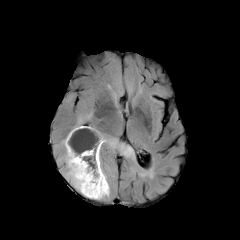
FLAIR MR image.
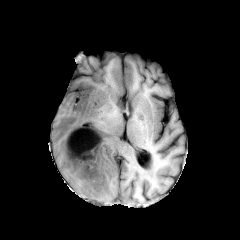
T1-weighted magnetic resonance of the same slice.
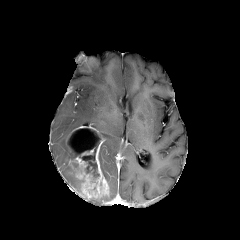
Post-contrast T1-weighted MR.
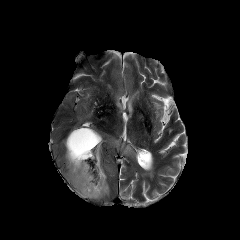
T2-weighted MR image.
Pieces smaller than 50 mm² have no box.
necrotic tumor core = bbox(67, 128, 100, 177)
peritumoral edema = bbox(99, 145, 106, 179); bbox(71, 117, 83, 131); bbox(103, 136, 131, 154); bbox(62, 138, 80, 192)
enhancing tumor = bbox(66, 125, 109, 198); bbox(81, 148, 94, 156)